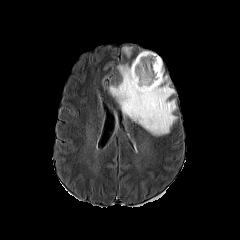
FLAIR MRI.
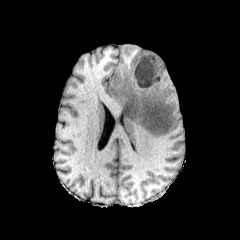
T1-weighted MR image.
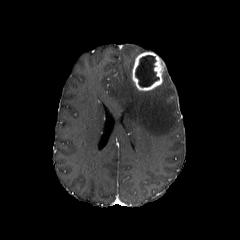
Post-contrast T1-weighted magnetic resonance of the same slice.
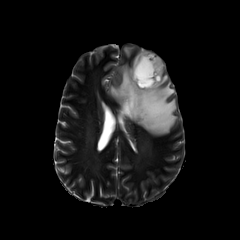
Same slice, T2-weighted MRI.
240x240 px
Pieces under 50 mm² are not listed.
enhancing tumor at {"x1": 132, "y1": 52, "x2": 164, "y2": 91}
peritumoral edema at {"x1": 124, "y1": 47, "x2": 132, "y2": 56}, {"x1": 109, "y1": 62, "x2": 177, "y2": 136}
necrotic tumor core at {"x1": 135, "y1": 55, "x2": 159, "y2": 86}